FLAIR magnetic resonance.
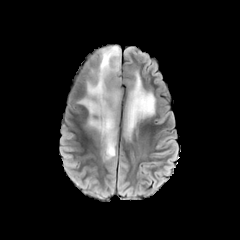
T1-weighted magnetic resonance.
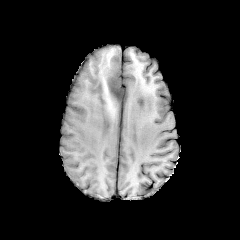
Post-contrast T1-weighted MR.
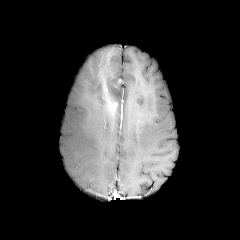
T2-weighted MRI.
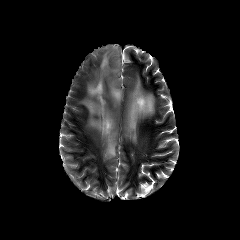
240x240. Axial slice.
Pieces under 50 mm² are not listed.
enhancing tumor at region(110, 79, 121, 89)
peritumoral edema at region(122, 68, 155, 141); region(77, 45, 122, 161)